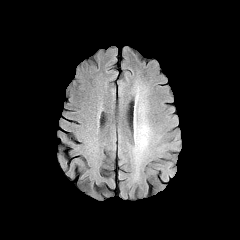
FLAIR magnetic resonance.
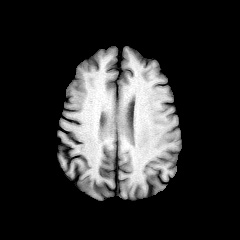
T1-weighted MR of the same slice.
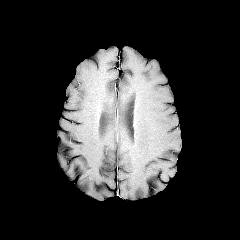
Post-contrast T1-weighted MR image.
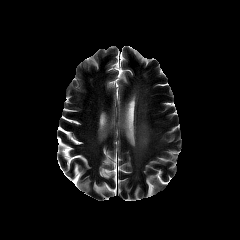
T2-weighted magnetic resonance.
Axial view.
peritumoral edema at [137,123,149,149]